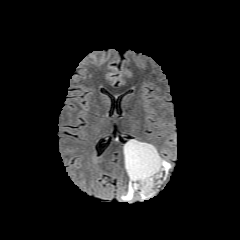
FLAIR magnetic resonance.
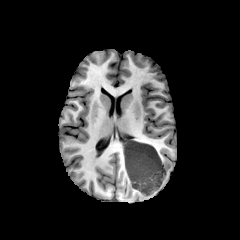
T1-weighted MR image.
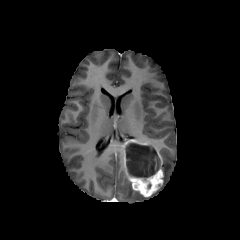
Post-contrast T1-weighted MR.
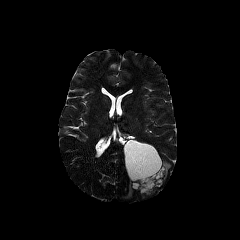
Same slice, T2-weighted MRI.
Axial slice | Image size 240x240
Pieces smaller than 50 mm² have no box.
The largest necrotic tumor core region is at (left=125, top=143, right=160, bottom=177). The 2 largest peritumoral edema regions are located at (left=162, top=159, right=171, bottom=180), (left=121, top=181, right=134, bottom=200). The enhancing tumor lies within (left=123, top=139, right=163, bottom=196).